FLAIR magnetic resonance.
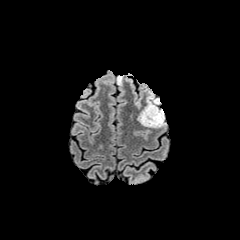
T1-weighted magnetic resonance.
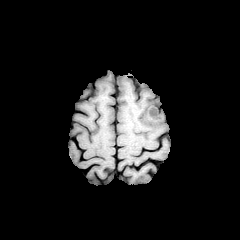
Post-contrast T1-weighted MR image.
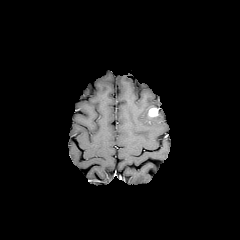
T2-weighted MR.
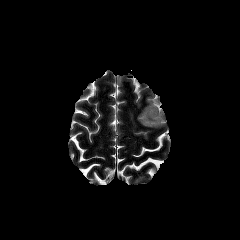
Findings:
* enhancing tumor: (148, 107, 158, 116)
* peritumoral edema: (117, 75, 123, 85), (137, 92, 166, 128)